FLAIR MR.
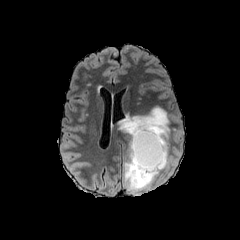
T1-weighted magnetic resonance.
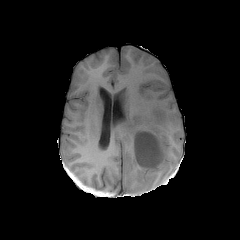
Post-contrast T1-weighted magnetic resonance.
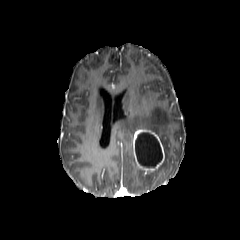
T2-weighted MRI.
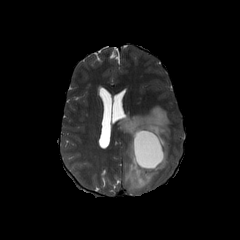
240x240, Brain
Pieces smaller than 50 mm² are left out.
<segmentation>
  <peritumoral_edema>bbox=[117, 106, 172, 191]</peritumoral_edema>
  <necrotic_tumor_core>bbox=[135, 132, 162, 167]</necrotic_tumor_core>
  <enhancing_tumor>bbox=[133, 129, 164, 173]</enhancing_tumor>
</segmentation>